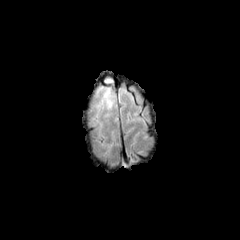
FLAIR MR.
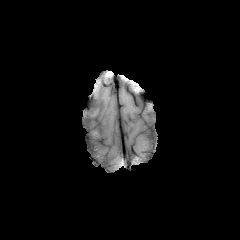
T1-weighted MRI.
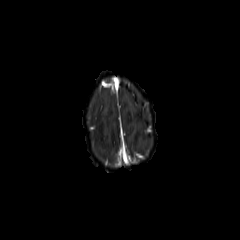
Post-contrast T1-weighted magnetic resonance.
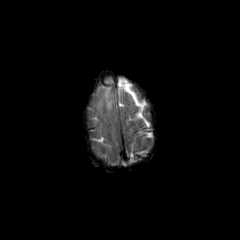
T2-weighted MRI.
240x240 | Brain
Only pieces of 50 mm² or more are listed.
The largest peritumoral edema region appears at [104, 89, 112, 108].